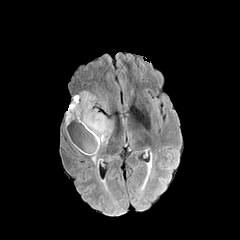
FLAIR magnetic resonance.
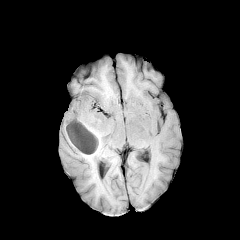
T1-weighted MR image of the same slice.
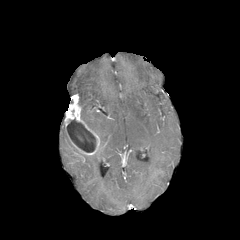
Same slice, post-contrast T1-weighted MRI.
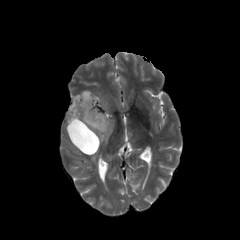
T2-weighted MR.
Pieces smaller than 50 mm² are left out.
necrotic tumor core = [67, 119, 96, 152]
enhancing tumor = [64, 94, 99, 154]
peritumoral edema = [91, 150, 98, 163], [79, 91, 113, 148]